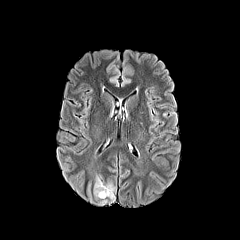
FLAIR MRI.
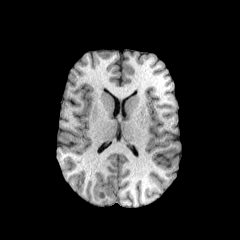
Same slice, T1-weighted MR.
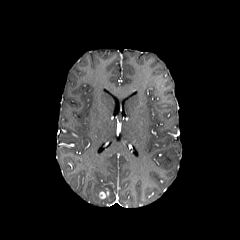
Post-contrast T1-weighted MRI.
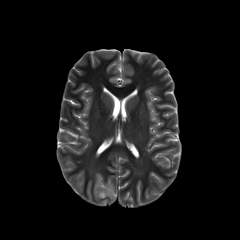
T2-weighted MR.
Axial slice
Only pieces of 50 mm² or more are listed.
enhancing tumor: bounding box 99 191 108 198
peritumoral edema: bounding box 93 174 115 201